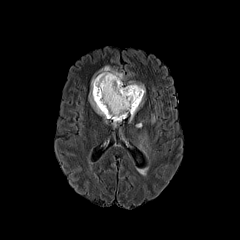
FLAIR MRI.
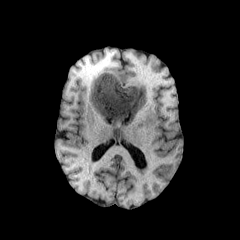
Same slice, T1-weighted MR.
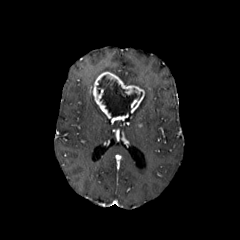
Post-contrast T1-weighted magnetic resonance of the same slice.
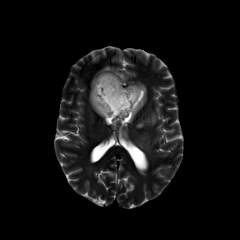
T2-weighted magnetic resonance.
240x240 | Axial slice
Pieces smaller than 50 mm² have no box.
{"peritumoral_edema": ["128:81:145:93", "89:66:125:118", "139:135:146:148", "129:100:143:118"], "necrotic_tumor_core": ["97:75:142:117"], "enhancing_tumor": ["92:71:144:121"]}